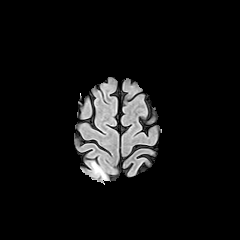
FLAIR MRI.
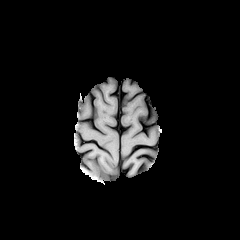
Same slice, T1-weighted magnetic resonance.
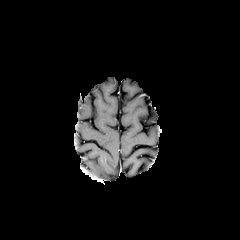
Post-contrast T1-weighted MRI.
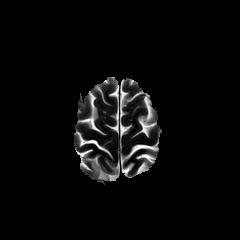
T2-weighted magnetic resonance.
240x240; Axial slice; Brain
peritumoral edema at x1=91 y1=162 x2=107 y2=180